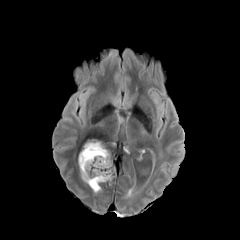
FLAIR MR.
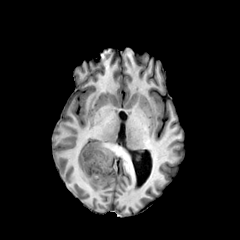
T1-weighted MR of the same slice.
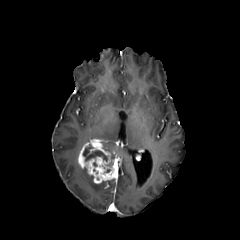
Post-contrast T1-weighted MRI.
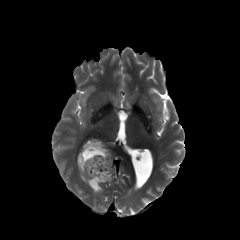
T2-weighted MR image.
Head | 240x240 px
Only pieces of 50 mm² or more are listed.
The largest necrotic tumor core region is bounded by [83,144,107,160]. The largest peritumoral edema region lies within [80,167,101,192]. The enhancing tumor appears at [78,139,116,183].